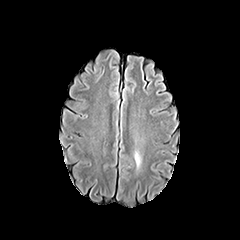
FLAIR magnetic resonance.
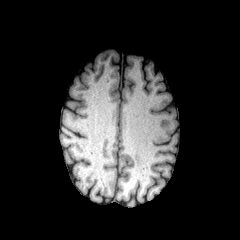
Same slice, T1-weighted magnetic resonance.
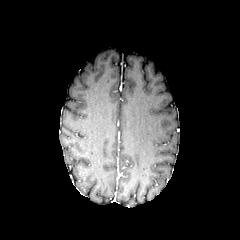
Post-contrast T1-weighted MR.
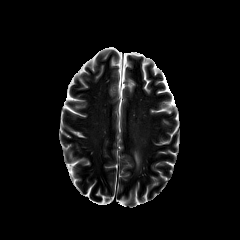
Same slice, T2-weighted magnetic resonance.
Image size 240x240
Segmented structures:
* peritumoral edema: box(134, 151, 141, 168)